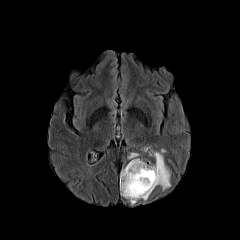
FLAIR MR.
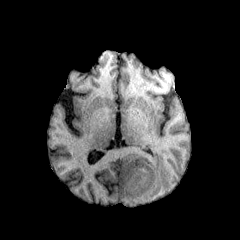
Same slice, T1-weighted MR image.
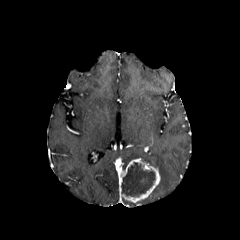
Post-contrast T1-weighted MR image.
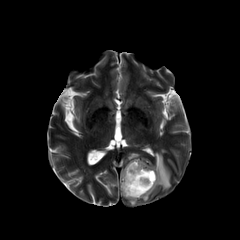
T2-weighted MR image.
Axial plane | Head
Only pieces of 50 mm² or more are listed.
* necrotic tumor core: x1=121, y1=162, x2=155, y2=196
* enhancing tumor: x1=119, y1=158, x2=160, y2=202
* peritumoral edema: x1=127, y1=152, x2=139, y2=160; x1=152, y1=149, x2=170, y2=190